FLAIR MR image.
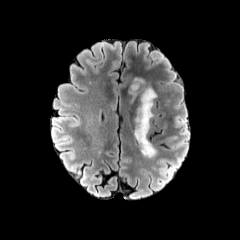
T1-weighted MRI.
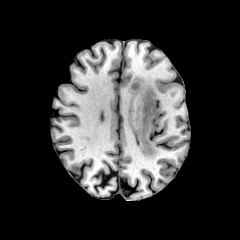
Post-contrast T1-weighted MR.
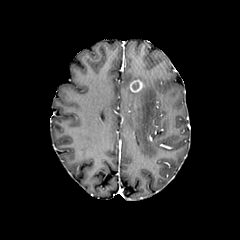
T2-weighted magnetic resonance.
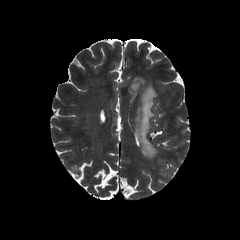
Axial view; Head
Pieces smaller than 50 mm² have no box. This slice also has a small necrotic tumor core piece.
The enhancing tumor appears at (130, 79, 143, 92). The largest peritumoral edema region is bounded by (134, 78, 156, 158).